240x240 px | Head
FLAIR MR image.
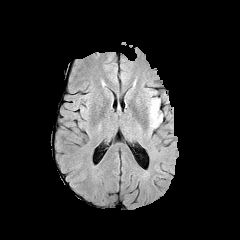
T1-weighted MRI.
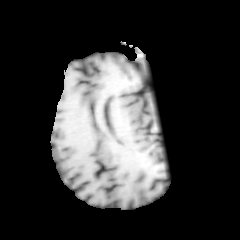
Post-contrast T1-weighted MRI.
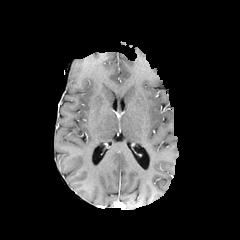
T2-weighted magnetic resonance.
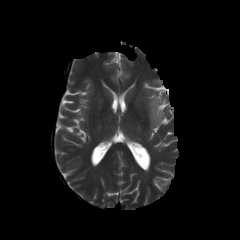
Findings:
• peritumoral edema: region(150, 99, 160, 127)